240x240 px
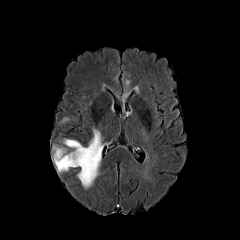
FLAIR MRI.
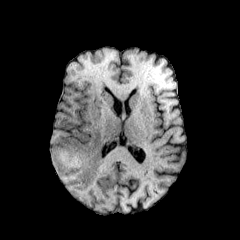
T1-weighted MR image.
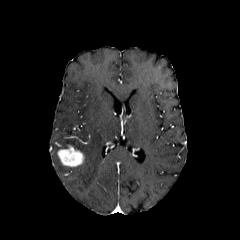
Post-contrast T1-weighted MR.
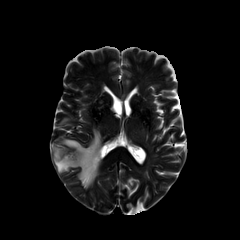
Same slice, T2-weighted MRI.
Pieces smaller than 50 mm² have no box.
The 2 largest peritumoral edema regions appear at [53, 146, 71, 172], [62, 128, 103, 188]. The enhancing tumor lies within [57, 145, 84, 167].